240x240 px; Axial view; Slice 60 of 155
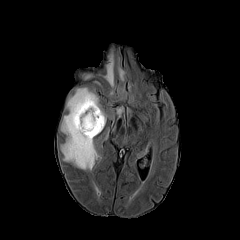
FLAIR MR image.
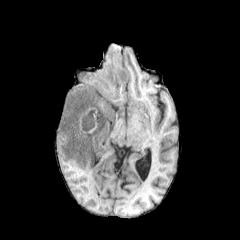
T1-weighted MRI.
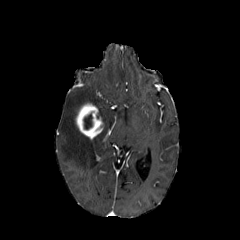
Post-contrast T1-weighted MR.
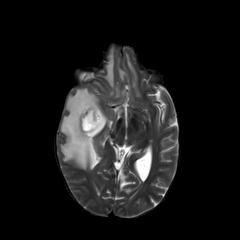
T2-weighted MR of the same slice.
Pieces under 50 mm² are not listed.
The enhancing tumor is bounded by bbox(75, 102, 103, 139). The largest necrotic tumor core region is located at bbox(82, 111, 94, 130). The 3 largest peritumoral edema regions are located at bbox(60, 87, 106, 170); bbox(118, 67, 125, 80); bbox(104, 51, 114, 87).